Brain | Axial view | Slice index 29
FLAIR MRI.
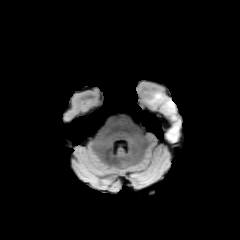
T1-weighted MRI.
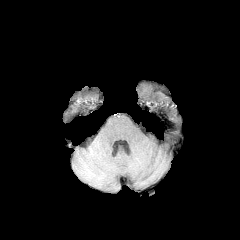
Post-contrast T1-weighted magnetic resonance.
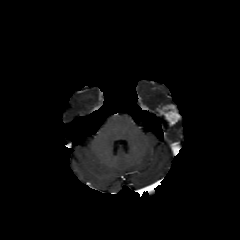
T2-weighted MRI.
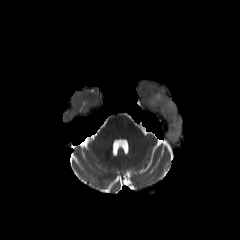
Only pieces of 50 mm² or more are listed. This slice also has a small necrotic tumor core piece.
peritumoral edema — box(146, 92, 174, 106); box(166, 117, 179, 140)
enhancing tumor — box(161, 103, 178, 125)